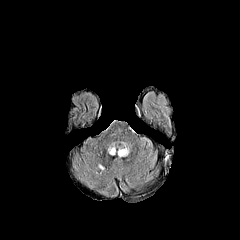
FLAIR MRI.
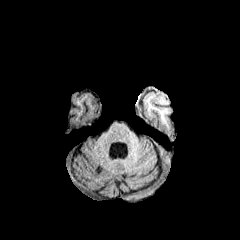
T1-weighted MRI of the same slice.
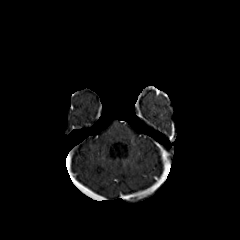
Post-contrast T1-weighted magnetic resonance of the same slice.
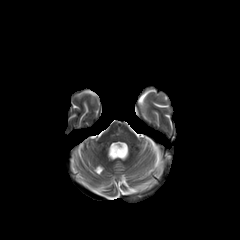
T2-weighted MRI of the same slice.
Brain, 240x240 px
Segmented structures:
- enhancing tumor: [163, 151, 168, 163]